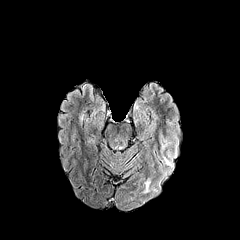
FLAIR MR image.
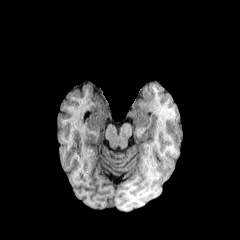
T1-weighted MR image.
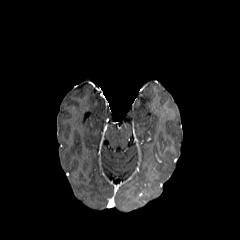
Post-contrast T1-weighted MRI.
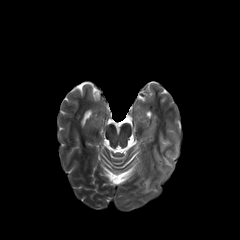
T2-weighted MRI of the same slice.
Axial view | Brain | Image size 240x240
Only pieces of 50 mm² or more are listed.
The 2 largest peritumoral edema regions appear at box=[163, 152, 173, 168]; box=[143, 179, 157, 192].